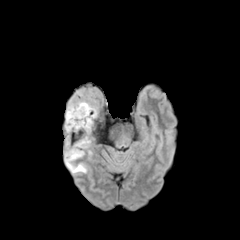
FLAIR MR.
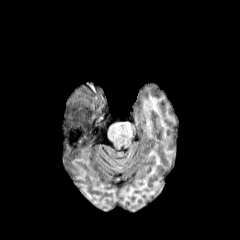
Same slice, T1-weighted MRI.
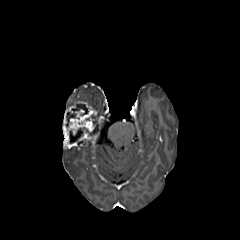
Post-contrast T1-weighted MRI.
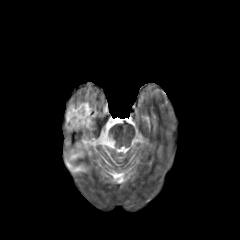
Same slice, T2-weighted magnetic resonance.
Brain, Axial view
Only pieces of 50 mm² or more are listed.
enhancing tumor at (x1=63, y1=99, x2=97, y2=147)
necrotic tumor core at (x1=72, y1=104, x2=88, y2=115), (x1=66, y1=112, x2=75, y2=126)
peritumoral edema at (x1=66, y1=151, x2=86, y2=173)